Image width 240 mm; Brain; Axial plane; 240x240 px
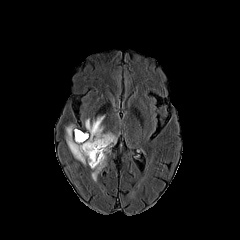
FLAIR MR image.
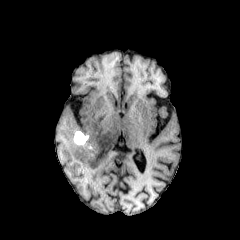
Same slice, T1-weighted MR image.
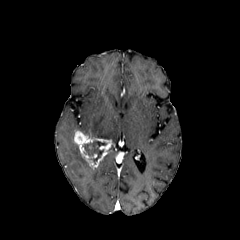
Post-contrast T1-weighted MRI of the same slice.
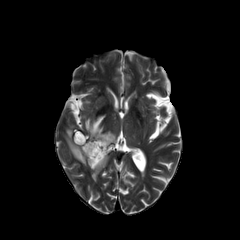
Same slice, T2-weighted MR.
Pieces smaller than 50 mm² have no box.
• peritumoral edema: bbox(91, 155, 106, 181); bbox(65, 125, 89, 166); bbox(85, 116, 117, 143)
• necrotic tumor core: bbox(83, 141, 106, 164)
• enhancing tumor: bbox(78, 134, 113, 168)